Brain
FLAIR MRI.
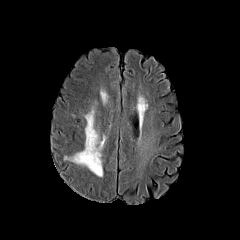
T1-weighted MR image.
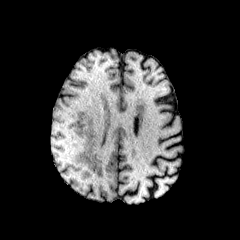
Post-contrast T1-weighted MR.
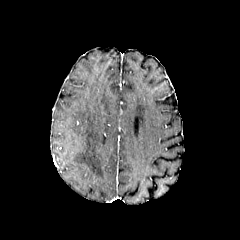
T2-weighted MR image.
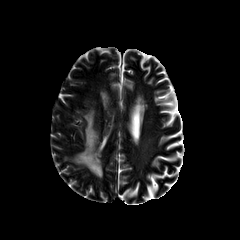
peritumoral edema: (72, 110, 104, 176)